240x240 px | Slice index 114
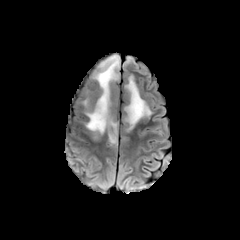
FLAIR MR image.
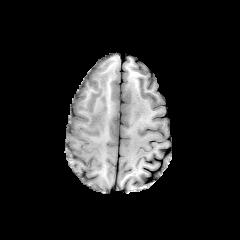
T1-weighted MR of the same slice.
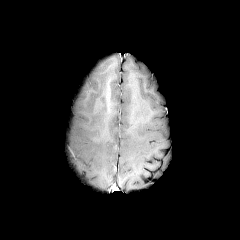
Post-contrast T1-weighted MRI.
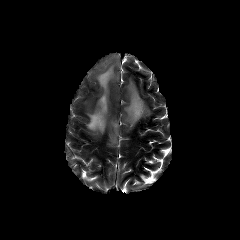
T2-weighted MR.
peritumoral edema = (80, 55, 119, 144), (122, 74, 154, 133)